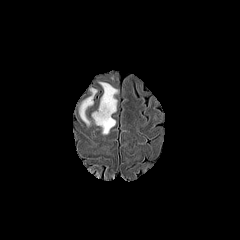
FLAIR MR.
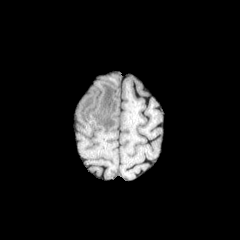
T1-weighted magnetic resonance of the same slice.
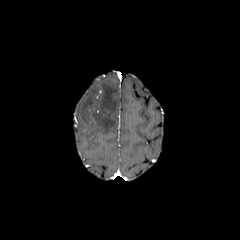
Post-contrast T1-weighted MRI.
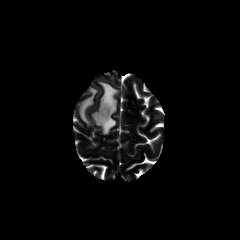
T2-weighted MR of the same slice.
Image size 240x240; Axial slice
Findings:
• peritumoral edema: 79:88:96:125, 92:82:118:134